240x240 px.
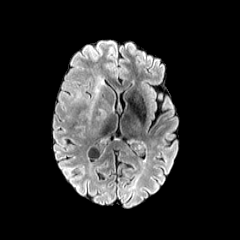
FLAIR MR.
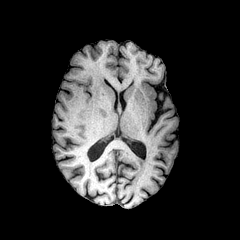
Same slice, T1-weighted MR image.
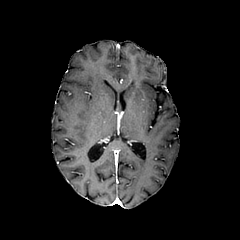
Same slice, post-contrast T1-weighted MR.
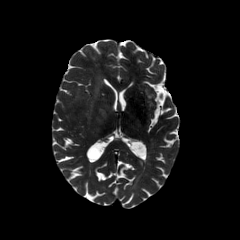
Same slice, T2-weighted magnetic resonance.
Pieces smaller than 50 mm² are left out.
peritumoral edema: (x1=96, y1=99, x2=107, y2=131), (x1=72, y1=73, x2=103, y2=122)